FLAIR MR image.
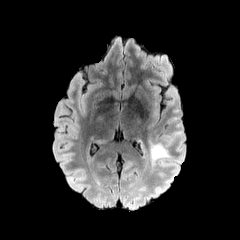
T1-weighted MRI.
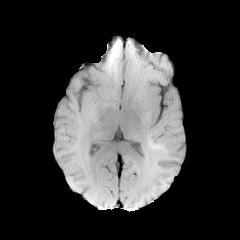
Post-contrast T1-weighted magnetic resonance.
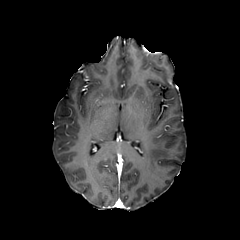
T2-weighted magnetic resonance.
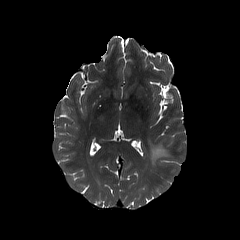
240x240; Axial plane; Brain
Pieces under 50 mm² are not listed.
The largest peritumoral edema region is located at rect(150, 143, 169, 167).